FLAIR MRI.
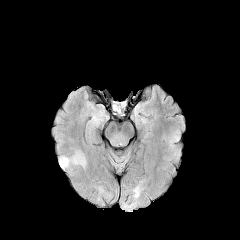
T1-weighted magnetic resonance.
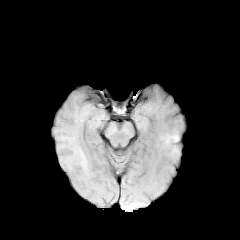
Post-contrast T1-weighted MRI.
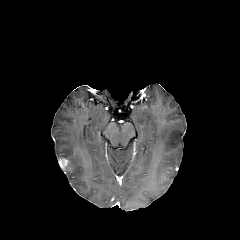
T2-weighted MR image.
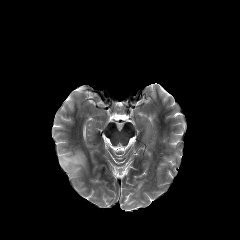
Head | Axial plane
enhancing tumor = x1=58 y1=158 x2=68 y2=169
peritumoral edema = x1=59 y1=150 x2=86 y2=174